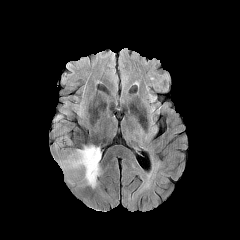
FLAIR magnetic resonance.
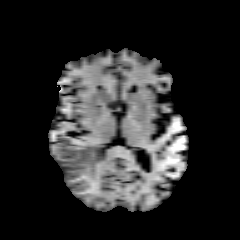
T1-weighted MR.
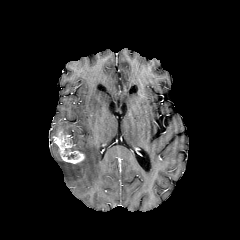
Post-contrast T1-weighted MR image.
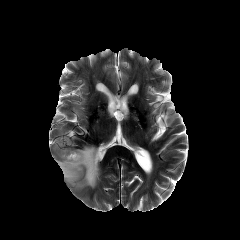
T2-weighted MR of the same slice.
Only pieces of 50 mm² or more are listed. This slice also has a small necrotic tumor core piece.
The enhancing tumor appears at box(53, 130, 84, 163). The largest peritumoral edema region lies within box(56, 145, 101, 187).